FLAIR MR.
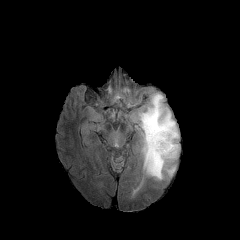
T1-weighted MR.
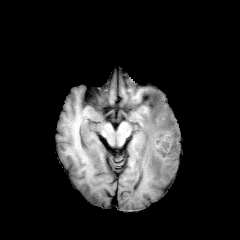
Post-contrast T1-weighted MR.
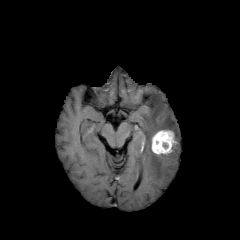
T2-weighted MR.
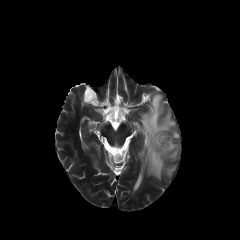
240x240
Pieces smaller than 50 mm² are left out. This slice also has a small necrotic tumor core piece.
enhancing tumor: [151,130,176,154] | peritumoral edema: [139,93,179,180]